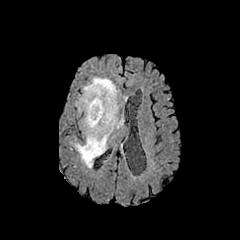
FLAIR MR.
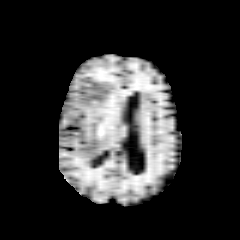
T1-weighted MR.
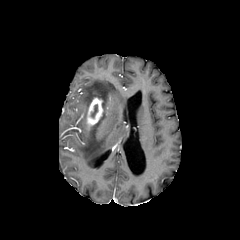
Post-contrast T1-weighted MR of the same slice.
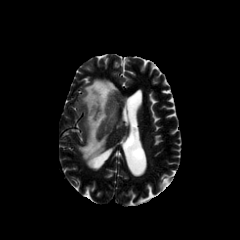
T2-weighted MR of the same slice.
Axial plane
<segmentation>
  <enhancing_tumor>86:97:103:127</enhancing_tumor>
  <peritumoral_edema>74:77:126:167</peritumoral_edema>
  <necrotic_tumor_core>91:105:97:117</necrotic_tumor_core>
</segmentation>